FLAIR magnetic resonance.
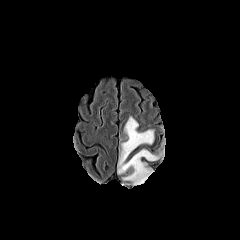
T1-weighted MR image.
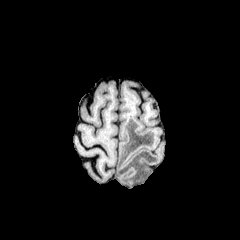
Post-contrast T1-weighted MR.
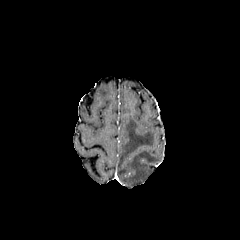
T2-weighted MR.
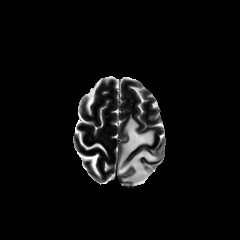
Head
peritumoral_edema:
  - box=[118, 116, 161, 185]